Axial plane; Image covers 240 mm x 240 mm; Slice 94/155; Head
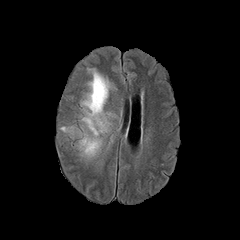
FLAIR MR.
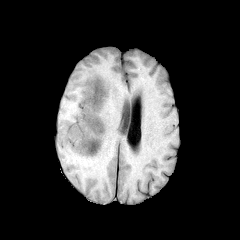
T1-weighted MR image.
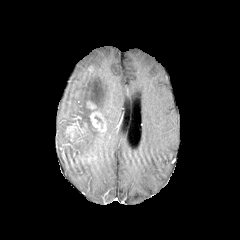
Post-contrast T1-weighted magnetic resonance.
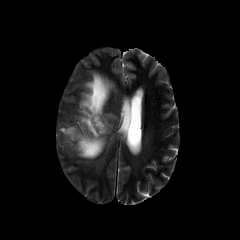
T2-weighted MRI of the same slice.
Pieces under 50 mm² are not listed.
• necrotic tumor core: <box>95,116,103,128</box>
• peritumoral edema: <box>71,69,115,159</box>
• enhancing tumor: <box>87,102,106,134</box>, <box>86,139,100,155</box>, <box>66,126,77,137</box>